Image width 240 mm | Head
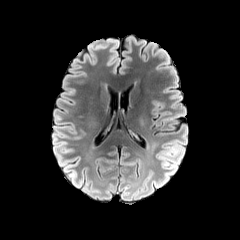
FLAIR MRI.
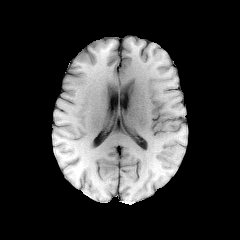
T1-weighted MR.
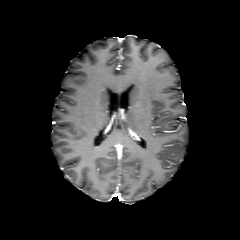
Post-contrast T1-weighted magnetic resonance.
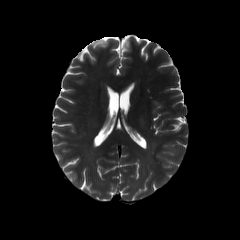
T2-weighted magnetic resonance of the same slice.
The peritumoral edema is located at box(157, 139, 184, 181).